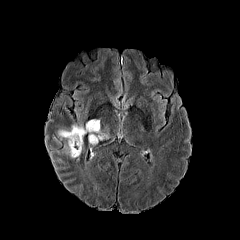
FLAIR MRI.
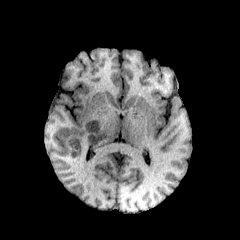
T1-weighted magnetic resonance.
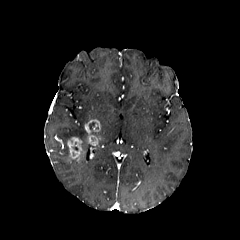
Post-contrast T1-weighted MRI.
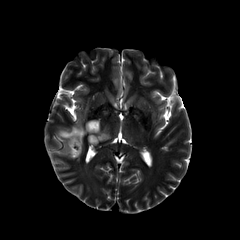
Same slice, T2-weighted MR image.
Axial plane; Image size 240x240
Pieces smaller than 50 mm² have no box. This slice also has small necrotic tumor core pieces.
peritumoral edema at bbox=[58, 124, 86, 145]; bbox=[100, 131, 109, 140]
enhancing tumor at bbox=[85, 119, 102, 145]; bbox=[67, 137, 81, 160]